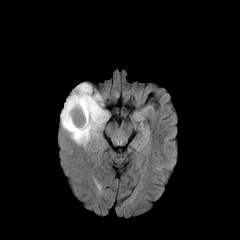
FLAIR magnetic resonance.
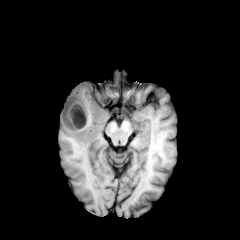
T1-weighted MRI.
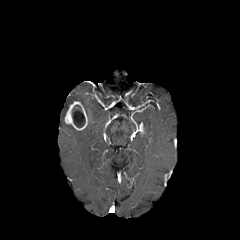
Post-contrast T1-weighted MRI of the same slice.
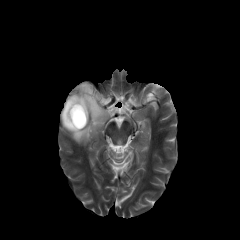
T2-weighted MR image.
Axial slice | Head | Image size 240x240
{
  "peritumoral_edema": [
    "bbox=[60, 83, 108, 146]"
  ],
  "necrotic_tumor_core": [
    "bbox=[72, 110, 85, 127]"
  ],
  "enhancing_tumor": [
    "bbox=[64, 101, 88, 130]"
  ]
}